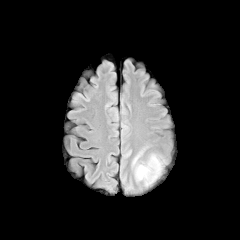
FLAIR MR image.
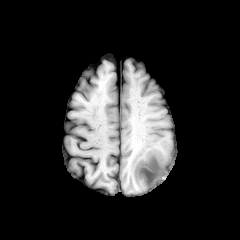
T1-weighted MR of the same slice.
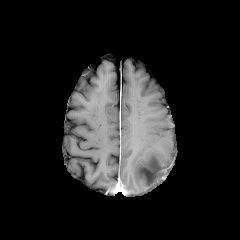
Post-contrast T1-weighted MR image of the same slice.
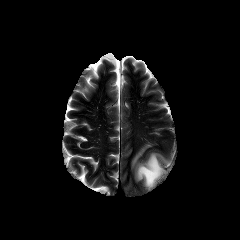
T2-weighted MRI.
Axial plane | Brain | 240x240
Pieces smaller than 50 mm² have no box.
The largest peritumoral edema region is located at <box>135,154,165,188</box>.